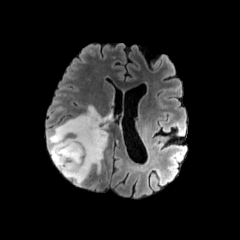
FLAIR MR image.
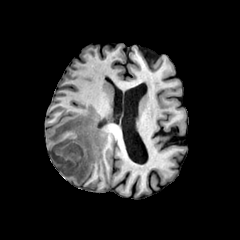
T1-weighted MR.
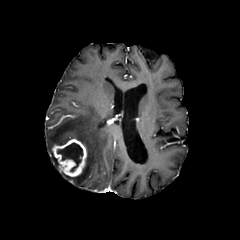
Same slice, post-contrast T1-weighted MRI.
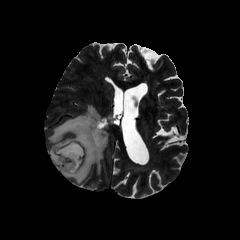
T2-weighted MR of the same slice.
Axial slice | Brain
<segmentation>
  <enhancing_tumor>[52, 139, 87, 176]</enhancing_tumor>
  <peritumoral_edema>[48, 105, 107, 184]</peritumoral_edema>
  <necrotic_tumor_core>[57, 143, 82, 171]</necrotic_tumor_core>
</segmentation>